FLAIR magnetic resonance.
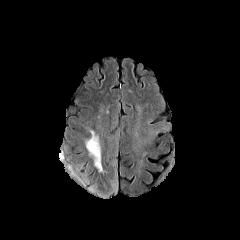
T1-weighted magnetic resonance.
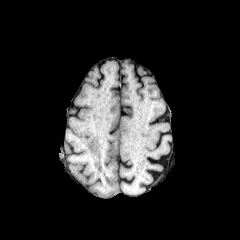
Post-contrast T1-weighted magnetic resonance.
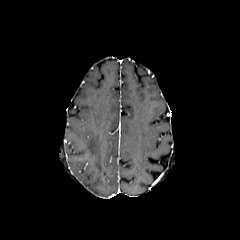
T2-weighted MR.
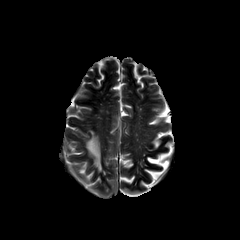
peritumoral_edema:
  - (x1=86, y1=130, x2=101, y2=170)
  - (x1=113, y1=180, x2=117, y2=193)
  - (x1=75, y1=165, x2=87, y2=183)
  - (x1=90, y1=185, x2=108, y2=196)